240x240. Axial plane. Head.
FLAIR MRI.
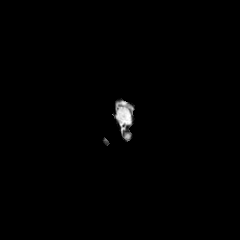
T1-weighted MRI.
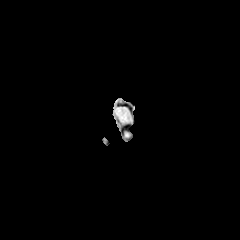
Post-contrast T1-weighted MRI.
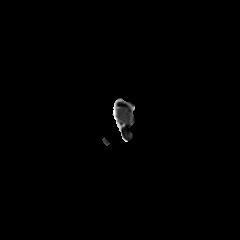
T2-weighted magnetic resonance.
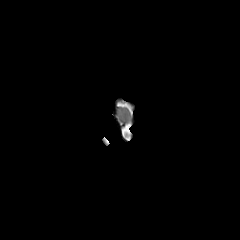
<segmentation>
  <peritumoral_edema>[118, 108, 129, 123]</peritumoral_edema>
</segmentation>